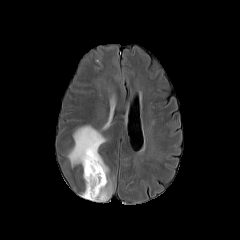
FLAIR MRI.
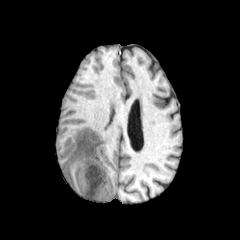
T1-weighted MR of the same slice.
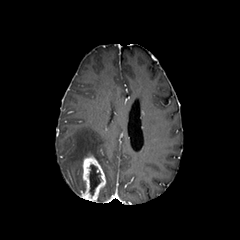
Same slice, post-contrast T1-weighted MR image.
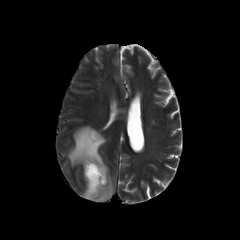
T2-weighted magnetic resonance.
240x240 px, Head
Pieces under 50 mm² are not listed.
necrotic_tumor_core:
  - l=89, t=164, r=100, b=195
peritumoral_edema:
  - l=67, t=125, r=113, b=201
enhancing_tumor:
  - l=81, t=154, r=106, b=201